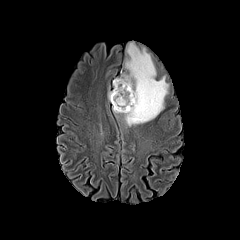
FLAIR MR image.
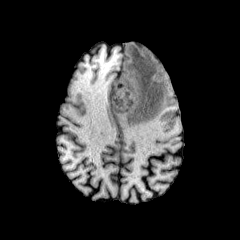
Same slice, T1-weighted MRI.
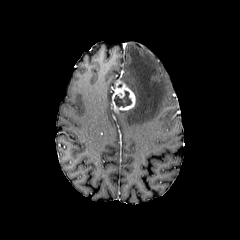
Same slice, post-contrast T1-weighted magnetic resonance.
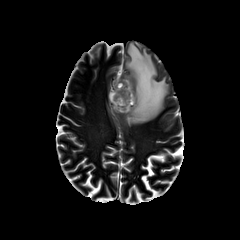
T2-weighted MRI.
Head, Axial slice
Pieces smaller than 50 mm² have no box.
enhancing tumor = [x1=112, y1=78, x2=135, y2=112]
peritumoral edema = [x1=116, y1=43, x2=168, y2=126]
necrotic tumor core = [x1=114, y1=91, x2=131, y2=107]